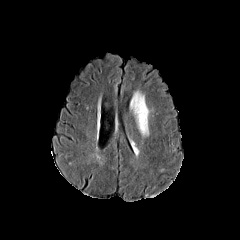
FLAIR MR.
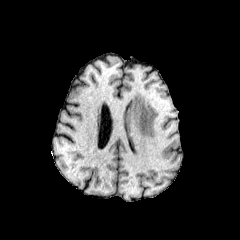
T1-weighted MRI of the same slice.
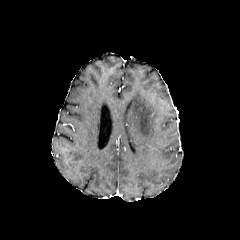
Post-contrast T1-weighted MR.
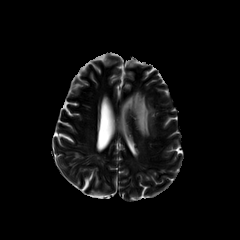
Same slice, T2-weighted MR.
Head; 240x240 px
Findings:
• peritumoral edema: bbox(130, 91, 149, 136)